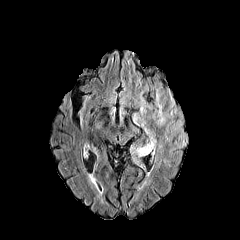
FLAIR MR.
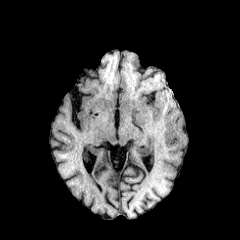
T1-weighted MR.
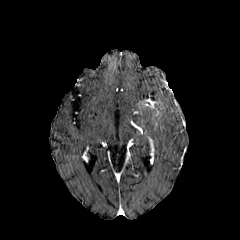
Same slice, post-contrast T1-weighted MR.
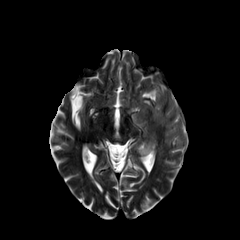
Same slice, T2-weighted MRI.
240x240 px. Brain.
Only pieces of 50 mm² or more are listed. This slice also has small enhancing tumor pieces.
peritumoral_edema:
  - {"x1": 153, "y1": 104, "x2": 165, "y2": 124}
  - {"x1": 135, "y1": 143, "x2": 150, "y2": 156}